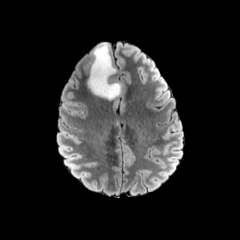
FLAIR MR.
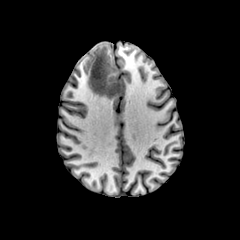
T1-weighted magnetic resonance of the same slice.
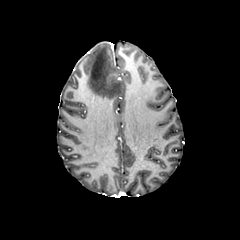
Same slice, post-contrast T1-weighted MRI.
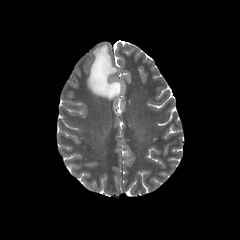
T2-weighted MRI.
Brain, Axial view
The peritumoral edema is at <bbox>88, 43, 121, 99</bbox>.